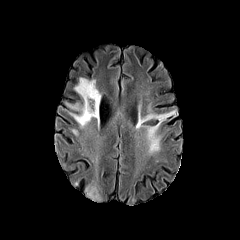
FLAIR MR.
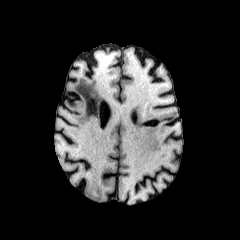
T1-weighted MRI.
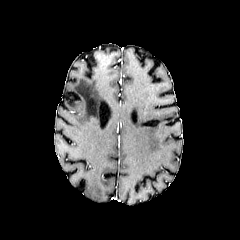
Same slice, post-contrast T1-weighted MR.
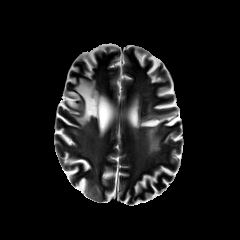
Same slice, T2-weighted MR image.
Axial slice.
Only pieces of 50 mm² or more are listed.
{
  "peritumoral_edema": [
    "[84, 184, 101, 201]",
    "[65, 77, 102, 129]",
    "[135, 108, 176, 153]"
  ]
}